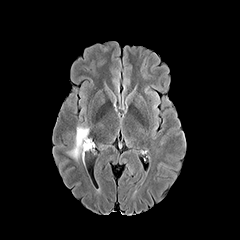
FLAIR MR.
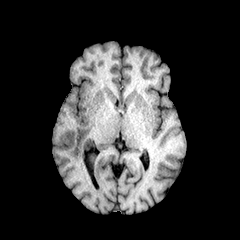
Same slice, T1-weighted MRI.
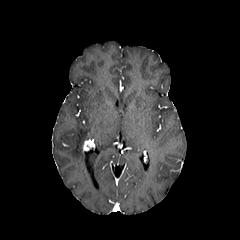
Post-contrast T1-weighted MR image.
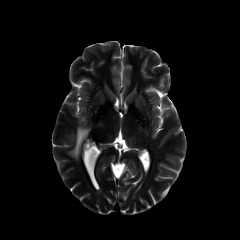
Same slice, T2-weighted MR.
Brain
peritumoral edema = 140,69,148,79; 68,126,89,160
enhancing tumor = 83,139,93,150